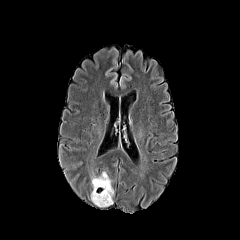
FLAIR MR.
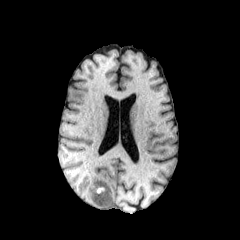
T1-weighted MR of the same slice.
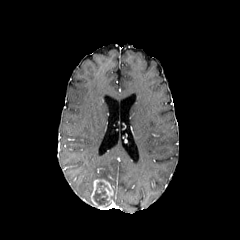
Post-contrast T1-weighted MR image.
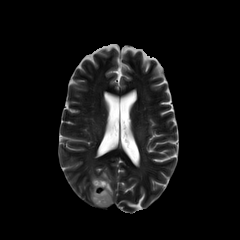
T2-weighted MR image of the same slice.
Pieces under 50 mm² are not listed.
The necrotic tumor core lies within bbox(93, 182, 108, 205). The peritumoral edema lies within bbox(91, 171, 111, 186). The largest enhancing tumor region appears at bbox(90, 179, 113, 208).